Brain. Axial plane. Image covers 240 mm x 240 mm.
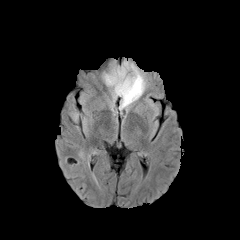
FLAIR MR image.
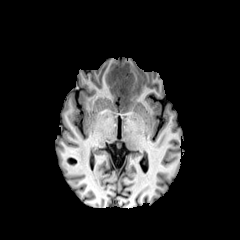
T1-weighted MR image.
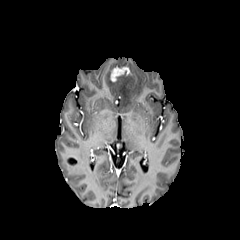
Post-contrast T1-weighted MRI of the same slice.
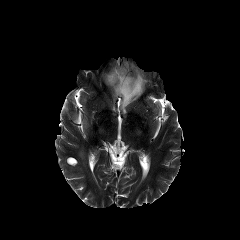
T2-weighted MRI of the same slice.
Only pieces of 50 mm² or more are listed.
enhancing tumor: bounding box left=110, top=66, right=128, bottom=81
peritumoral edema: bounding box left=104, top=61, right=145, bottom=109